FLAIR MR.
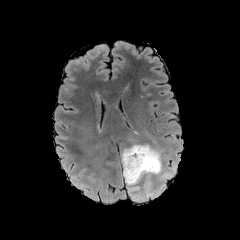
T1-weighted MR image.
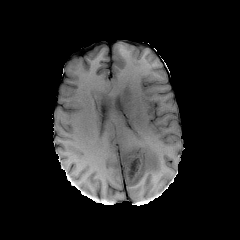
Post-contrast T1-weighted magnetic resonance.
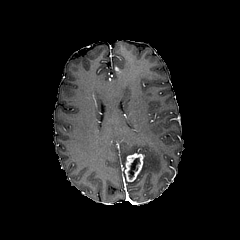
T2-weighted MR image.
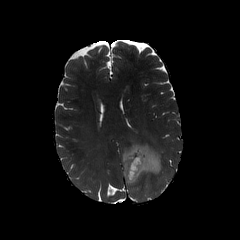
Head; Axial slice; Image size 240x240
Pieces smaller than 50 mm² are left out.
* peritumoral edema: 121,143,171,196
* enhancing tumor: 124,153,144,182
* necrotic tumor core: 128,158,139,178